FLAIR MRI.
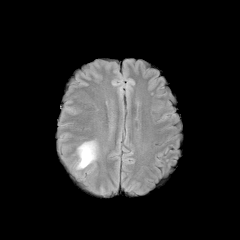
T1-weighted MRI.
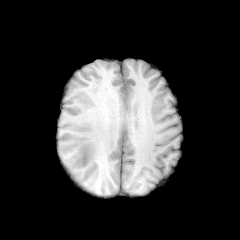
Post-contrast T1-weighted magnetic resonance.
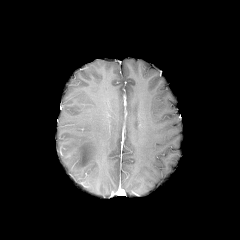
T2-weighted magnetic resonance.
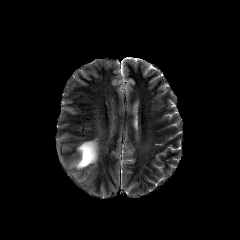
Brain, Image size 240x240
peritumoral edema = 76,141,97,169